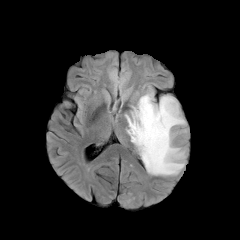
FLAIR magnetic resonance.
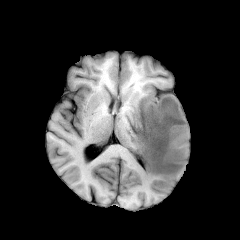
T1-weighted MR image.
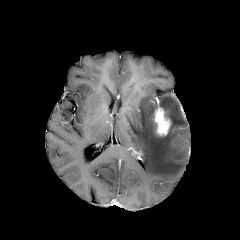
Post-contrast T1-weighted magnetic resonance of the same slice.
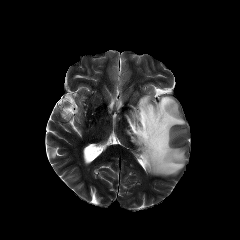
T2-weighted MR of the same slice.
Brain | Axial plane | Image size 240x240
The peritumoral edema is located at bbox=[125, 92, 186, 176]. The enhancing tumor appears at bbox=[154, 107, 171, 135].